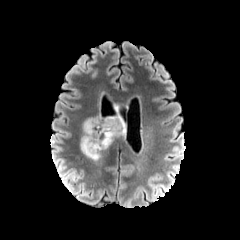
FLAIR magnetic resonance.
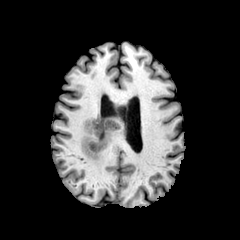
T1-weighted magnetic resonance.
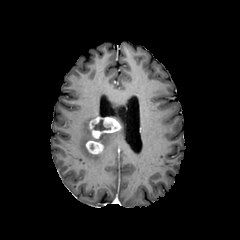
Post-contrast T1-weighted MRI.
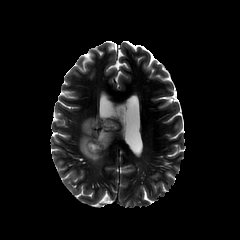
T2-weighted MR.
Axial slice, Image size 240x240, Brain
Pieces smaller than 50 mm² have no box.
<segmentation>
  <peritumoral_edema>box=[80, 118, 124, 160]</peritumoral_edema>
  <enhancing_tumor>box=[89, 116, 121, 138]; box=[86, 140, 103, 154]</enhancing_tumor>
  <necrotic_tumor_core>box=[92, 119, 110, 130]</necrotic_tumor_core>
</segmentation>